FLAIR MRI.
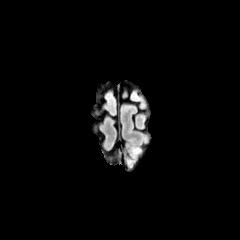
T1-weighted MR.
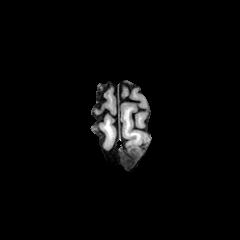
Post-contrast T1-weighted MR image.
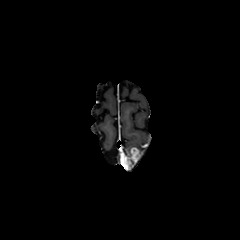
T2-weighted MRI.
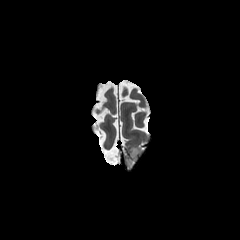
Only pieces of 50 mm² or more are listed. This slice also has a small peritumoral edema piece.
enhancing_tumor:
  - (left=126, top=147, right=140, bottom=167)